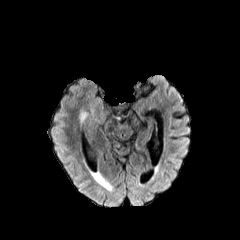
FLAIR MR image.
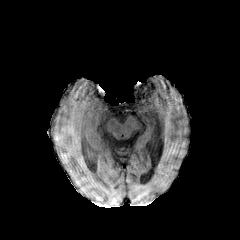
T1-weighted MR image.
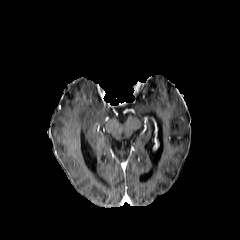
Post-contrast T1-weighted magnetic resonance of the same slice.
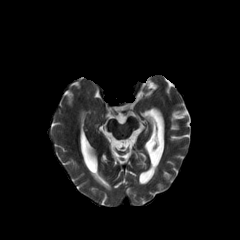
T2-weighted magnetic resonance.
Axial view
peritumoral edema: bounding box left=80, top=111, right=86, bottom=121